Slice index 92 | Head | 240x240
FLAIR MR.
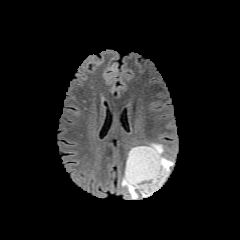
T1-weighted MRI.
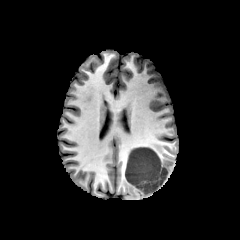
Post-contrast T1-weighted magnetic resonance.
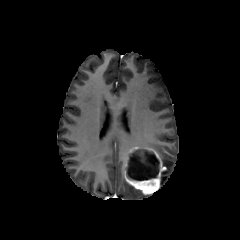
T2-weighted magnetic resonance.
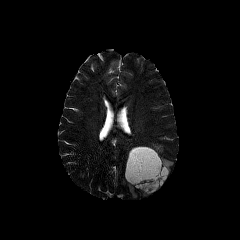
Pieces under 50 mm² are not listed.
enhancing tumor — left=124, top=147, right=166, bottom=194
necrotic tumor core — left=127, top=149, right=159, bottom=180
peritumoral edema — left=121, top=177, right=138, bottom=198; left=136, top=143, right=173, bottom=185